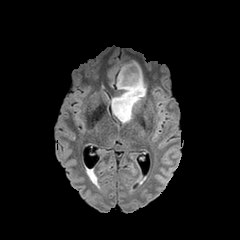
FLAIR magnetic resonance.
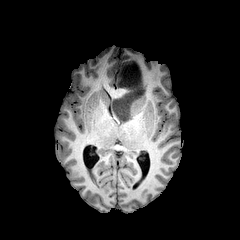
T1-weighted MRI.
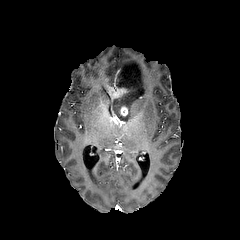
Post-contrast T1-weighted MRI.
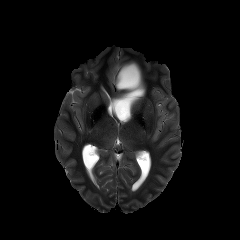
Same slice, T2-weighted magnetic resonance.
Brain, 240x240 px, Axial view
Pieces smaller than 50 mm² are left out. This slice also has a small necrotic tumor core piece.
<segmentation>
  <peritumoral_edema>(left=111, top=61, right=145, bottom=123)</peritumoral_edema>
  <enhancing_tumor>(left=120, top=106, right=128, bottom=116)</enhancing_tumor>
</segmentation>